FLAIR MR image.
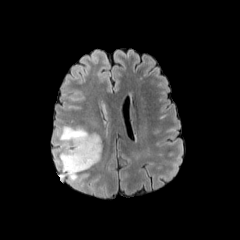
T1-weighted MRI.
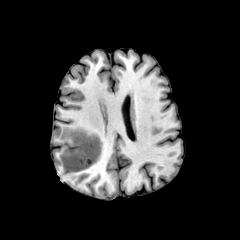
Post-contrast T1-weighted MR image.
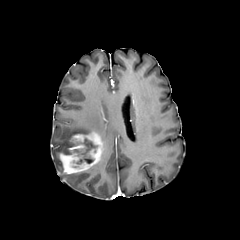
T2-weighted MRI.
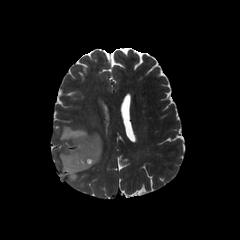
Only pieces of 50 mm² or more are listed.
- peritumoral edema: <box>55,154,78,182</box>, <box>55,126,90,153</box>
- necrotic tumor core: <box>74,138,97,163</box>
- enhancing tumor: <box>60,132,103,174</box>